240x240 | Slice 71 of 155 | Brain | Axial slice
FLAIR MR image.
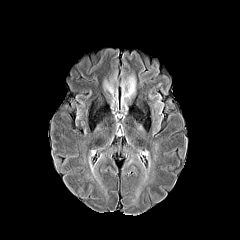
T1-weighted MR.
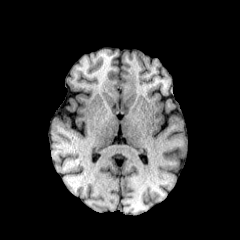
Post-contrast T1-weighted magnetic resonance.
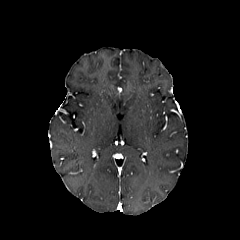
T2-weighted MR image.
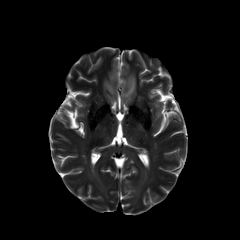
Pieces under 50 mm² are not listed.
peritumoral edema = 121:74:136:102, 104:81:113:94